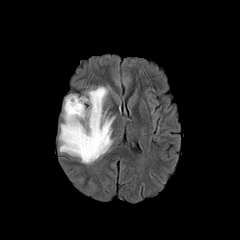
FLAIR MR image.
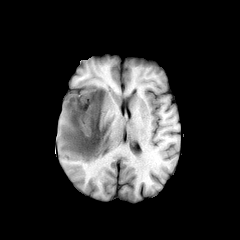
T1-weighted magnetic resonance of the same slice.
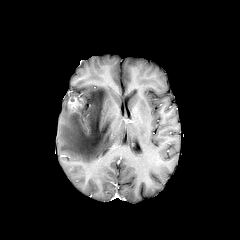
Post-contrast T1-weighted MRI.
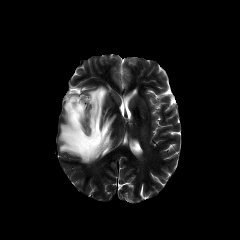
T2-weighted MRI.
Brain; Axial plane; 240x240 px
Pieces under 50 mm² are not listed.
enhancing tumor = [68, 97, 82, 111]
peritumoral edema = [59, 86, 114, 164]